Brain. Slice index 107.
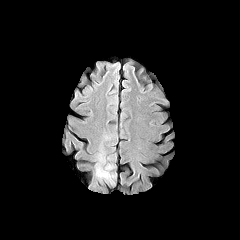
FLAIR magnetic resonance.
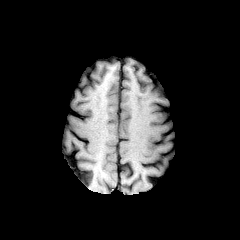
Same slice, T1-weighted magnetic resonance.
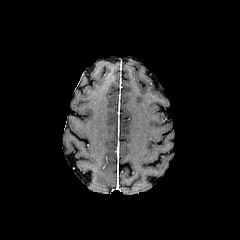
Same slice, post-contrast T1-weighted MRI.
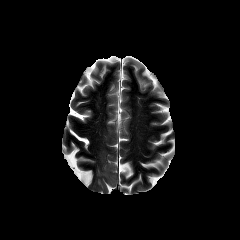
T2-weighted MR.
peritumoral edema — left=97, top=168, right=109, bottom=177